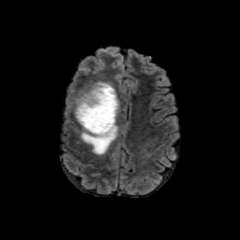
FLAIR MR.
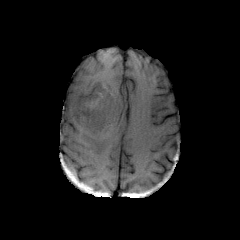
T1-weighted MRI.
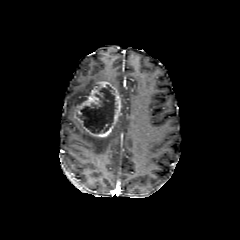
Post-contrast T1-weighted magnetic resonance.
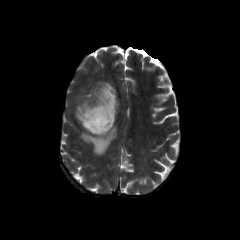
T2-weighted MR image.
Head. Axial plane.
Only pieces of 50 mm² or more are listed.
<segmentation>
  <peritumoral_edema>[68, 82, 97, 112], [80, 123, 118, 155]</peritumoral_edema>
  <necrotic_tumor_core>[78, 85, 116, 133]</necrotic_tumor_core>
  <enhancing_tumor>[74, 81, 120, 138]</enhancing_tumor>
</segmentation>